Image width 240 mm, 1.00 mm slice spacing
FLAIR MRI.
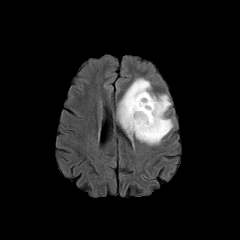
T1-weighted magnetic resonance.
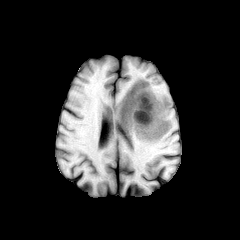
Post-contrast T1-weighted MRI.
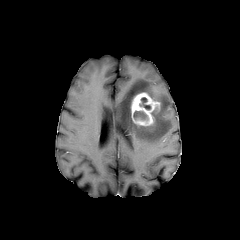
T2-weighted MRI.
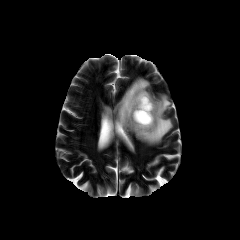
{
  "peritumoral_edema": [
    "(left=116, top=78, right=173, bottom=145)"
  ],
  "necrotic_tumor_core": [
    "(left=134, top=111, right=146, bottom=118)",
    "(left=140, top=97, right=150, bottom=109)"
  ],
  "enhancing_tumor": [
    "(left=131, top=92, right=160, bottom=127)"
  ]
}